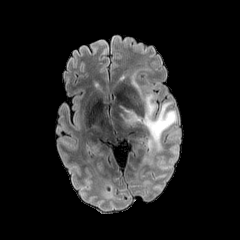
FLAIR MR.
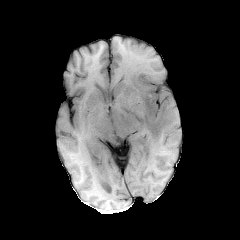
T1-weighted MRI.
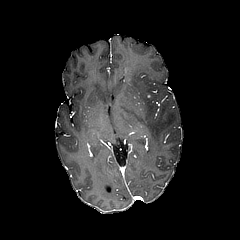
Post-contrast T1-weighted magnetic resonance.
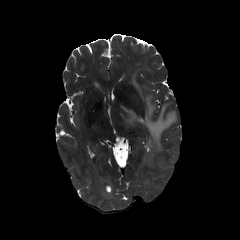
Same slice, T2-weighted MR image.
Axial plane
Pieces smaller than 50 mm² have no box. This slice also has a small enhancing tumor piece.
The peritumoral edema is bounded by {"x1": 121, "y1": 72, "x2": 177, "y2": 151}.